Brain, Axial slice
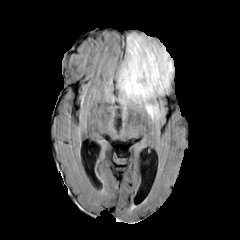
FLAIR MR image.
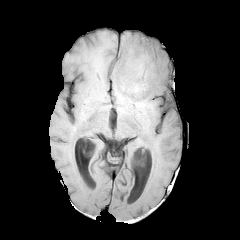
Same slice, T1-weighted MRI.
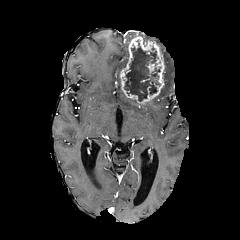
Post-contrast T1-weighted magnetic resonance of the same slice.
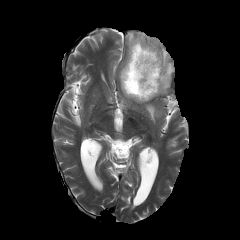
Same slice, T2-weighted magnetic resonance.
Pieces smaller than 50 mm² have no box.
• peritumoral edema: 159,47,173,94; 139,102,160,120; 118,33,138,107
• enhancing tumor: 120,33,165,103
• necrotic tumor core: 124,47,160,101